FLAIR MR image.
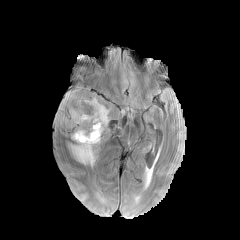
T1-weighted MRI.
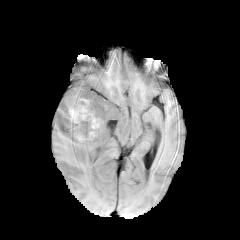
Post-contrast T1-weighted MR image.
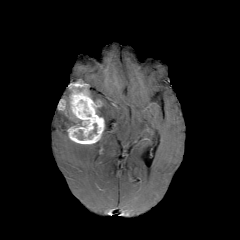
T2-weighted magnetic resonance.
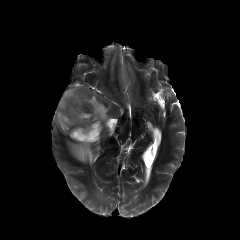
Image size 240x240. Head.
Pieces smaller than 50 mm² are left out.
necrotic tumor core: <box>89,123,96,136</box>, <box>77,100,87,108</box>, <box>76,130,83,139</box>
enhancing tumor: <box>67,81,104,144</box>, <box>58,99,66,113</box>
peritumoral edema: <box>97,105,109,127</box>, <box>56,89,81,128</box>, <box>69,139,100,165</box>